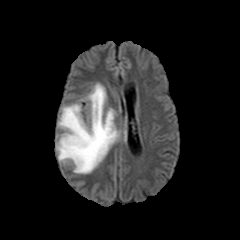
FLAIR MR.
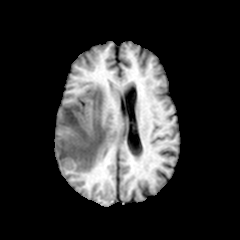
T1-weighted magnetic resonance.
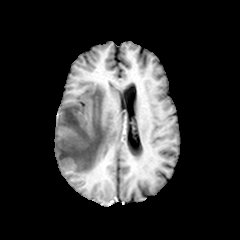
Same slice, post-contrast T1-weighted MRI.
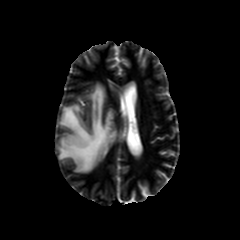
T2-weighted MR.
Axial slice
Findings:
• peritumoral edema: 56:83:120:173